Image width 240 mm; 240x240 px; Axial plane
FLAIR MR.
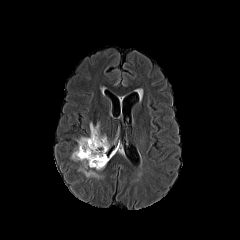
T1-weighted MR image.
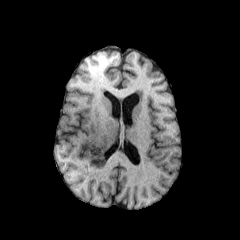
Post-contrast T1-weighted MR.
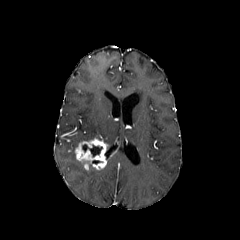
T2-weighted MR image.
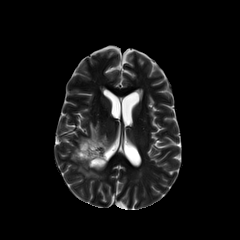
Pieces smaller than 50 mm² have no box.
{"enhancing_tumor": ["[75,137,108,169]"], "peritumoral_edema": ["[78,163,101,178]", "[76,122,112,146]"], "necrotic_tumor_core": ["[89,145,102,156]"]}